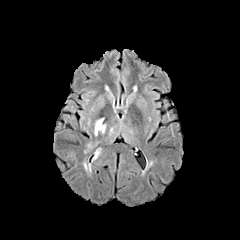
FLAIR magnetic resonance.
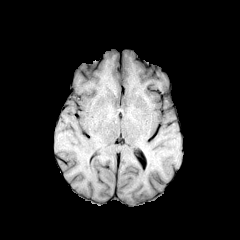
T1-weighted MRI.
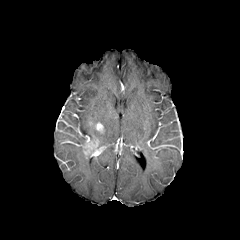
Post-contrast T1-weighted MRI of the same slice.
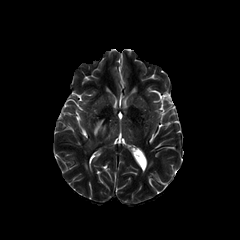
T2-weighted MR image.
Axial slice; Brain
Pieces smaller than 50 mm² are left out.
Findings:
- peritumoral edema: x1=94 y1=119 x2=103 y2=136
- enhancing tumor: x1=85 y1=142 x2=94 y2=152, x1=96 y1=123 x2=103 y2=131